240x240 px; Slice 70 of 155; Axial plane
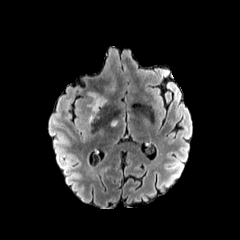
FLAIR magnetic resonance.
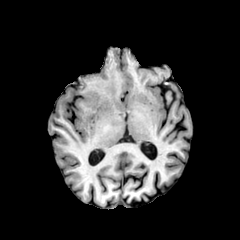
T1-weighted MRI.
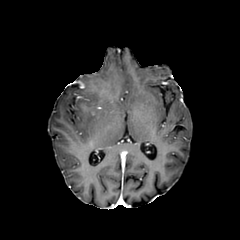
Post-contrast T1-weighted MRI of the same slice.
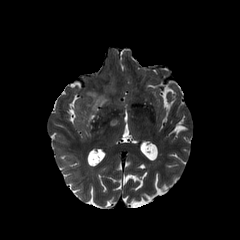
T2-weighted magnetic resonance.
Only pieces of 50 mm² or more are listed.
peritumoral edema at rect(88, 92, 106, 111)